Axial plane, Image width 240 mm, Brain, Slice 131/155
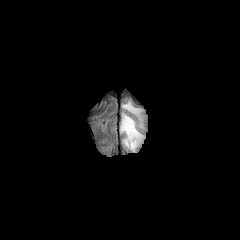
FLAIR MR.
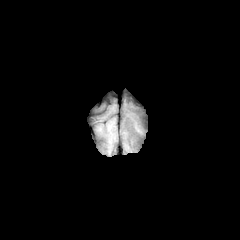
T1-weighted magnetic resonance.
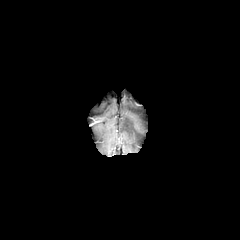
Post-contrast T1-weighted magnetic resonance.
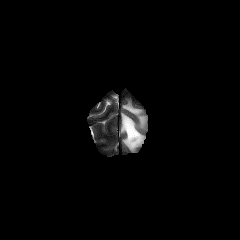
T2-weighted magnetic resonance of the same slice.
peritumoral edema — 120,101,144,151